Slice 77 of 155; Axial slice
FLAIR magnetic resonance.
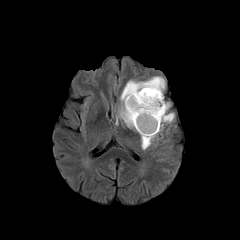
T1-weighted MRI.
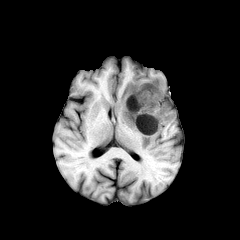
Post-contrast T1-weighted MRI.
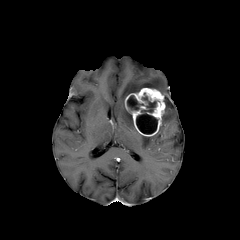
T2-weighted magnetic resonance.
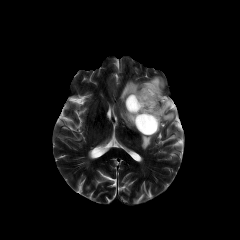
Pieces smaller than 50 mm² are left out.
enhancing tumor: [125, 88, 165, 136] | peritumoral edema: [141, 135, 155, 149], [159, 102, 174, 131], [118, 76, 165, 129] | necrotic tumor core: [127, 95, 143, 110], [136, 96, 157, 134]